Head | Slice 53/155
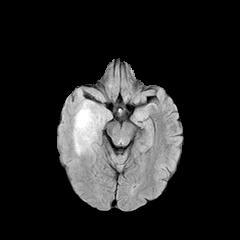
FLAIR MR image.
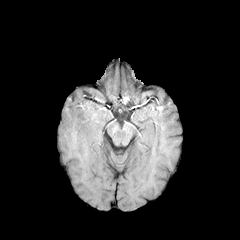
T1-weighted MR image of the same slice.
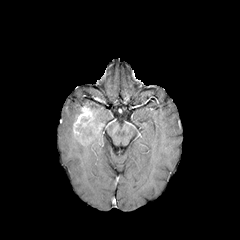
Post-contrast T1-weighted MR image.
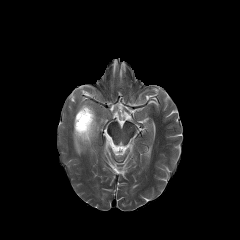
Same slice, T2-weighted MRI.
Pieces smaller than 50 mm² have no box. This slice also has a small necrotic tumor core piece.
Segmented structures:
- enhancing tumor: {"x1": 73, "y1": 106, "x2": 101, "y2": 143}
- peritumoral edema: {"x1": 74, "y1": 101, "x2": 104, "y2": 126}, {"x1": 73, "y1": 131, "x2": 97, "y2": 154}